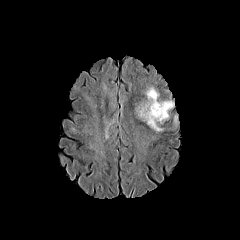
FLAIR MR image.
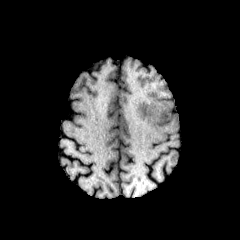
T1-weighted MR of the same slice.
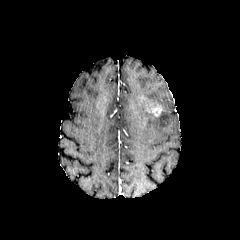
Post-contrast T1-weighted MR image.
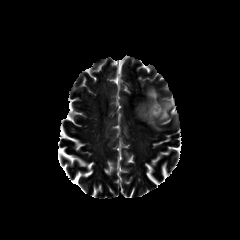
T2-weighted MR image.
Image size 240x240; Axial view; Brain
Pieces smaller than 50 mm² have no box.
{
  "peritumoral_edema": [
    "(x1=136, y1=87, x2=173, y2=131)"
  ],
  "enhancing_tumor": [
    "(x1=145, y1=101, x2=163, y2=117)"
  ]
}